FLAIR magnetic resonance.
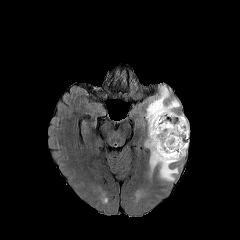
T1-weighted MR image.
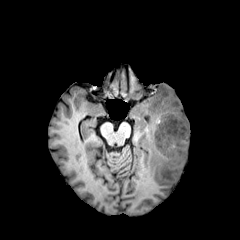
Post-contrast T1-weighted magnetic resonance.
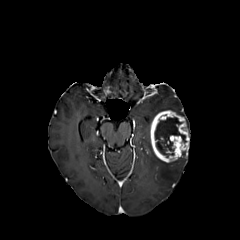
T2-weighted MRI.
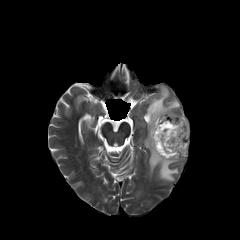
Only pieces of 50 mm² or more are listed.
enhancing tumor at 150:110:189:162
peritumoral edema at 145:86:179:181
necrotic tumor core at 155:117:186:157